FLAIR MR image.
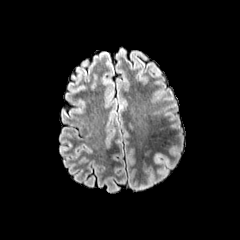
T1-weighted MR.
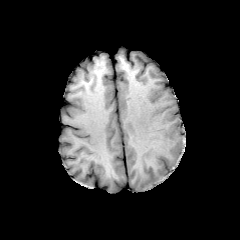
Post-contrast T1-weighted MR.
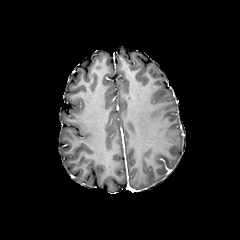
T2-weighted MR image.
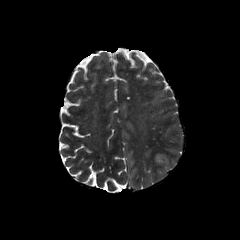
Axial slice; Head
{"peritumoral_edema": ["box=[154, 154, 171, 167]"]}